Brain | 240x240 | Axial plane | Slice 76/155
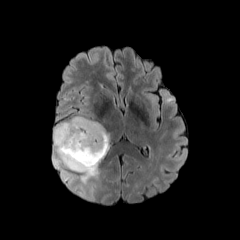
FLAIR MR.
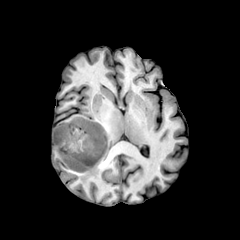
Same slice, T1-weighted magnetic resonance.
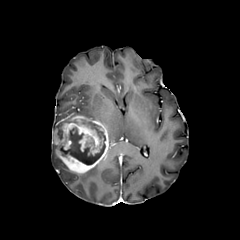
Post-contrast T1-weighted MRI.
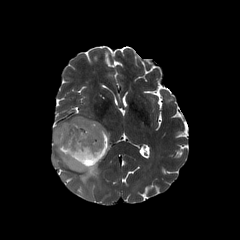
T2-weighted MR image of the same slice.
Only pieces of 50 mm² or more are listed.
peritumoral edema at left=80, top=165, right=99, bottom=183; left=53, top=120, right=70, bottom=130; left=53, top=155, right=66, bottom=167
necrotic tumor core at left=60, top=128, right=105, bottom=165; left=89, top=122, right=105, bottom=140
enhancing tumor at left=52, top=115, right=109, bottom=173